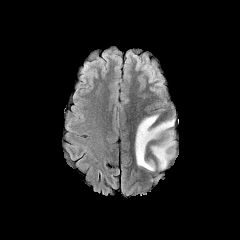
FLAIR MR.
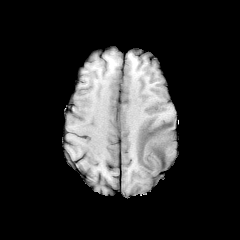
Same slice, T1-weighted magnetic resonance.
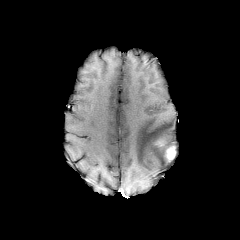
Post-contrast T1-weighted MR.
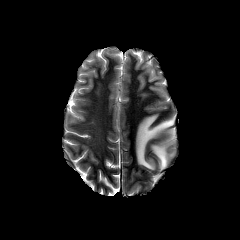
T2-weighted MR.
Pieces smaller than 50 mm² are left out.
* peritumoral edema: (135,114,175,171)
* enhancing tumor: (165,145,175,161)